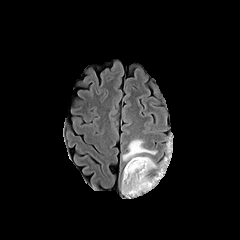
FLAIR MRI.
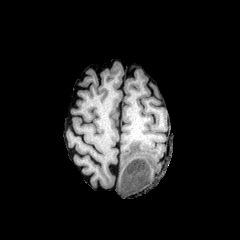
T1-weighted MR.
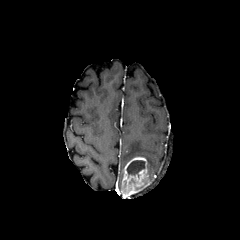
Post-contrast T1-weighted magnetic resonance.
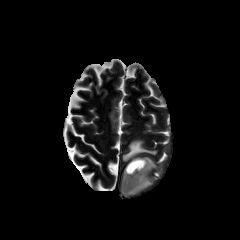
T2-weighted magnetic resonance.
Brain; Axial plane
enhancing tumor: box=[121, 157, 153, 198]
necrotic tumor core: box=[127, 160, 144, 175]
peritumoral edema: box=[122, 139, 157, 161]; box=[145, 156, 157, 169]